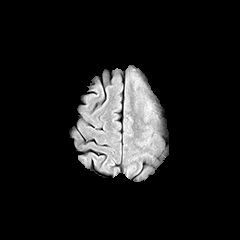
FLAIR MRI.
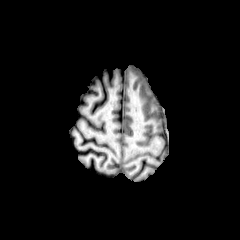
Same slice, T1-weighted magnetic resonance.
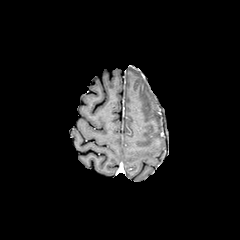
Post-contrast T1-weighted MRI.
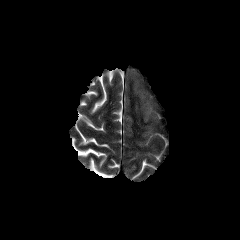
Same slice, T2-weighted MR.
240x240 | Brain
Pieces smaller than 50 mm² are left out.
Segmented structures:
• peritumoral edema: {"x1": 133, "y1": 78, "x2": 140, "y2": 90}, {"x1": 142, "y1": 101, "x2": 151, "y2": 123}